Brain.
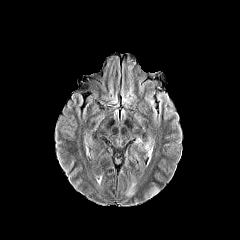
FLAIR magnetic resonance.
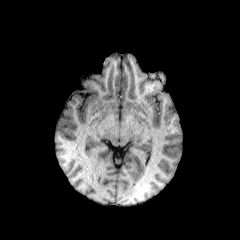
T1-weighted magnetic resonance.
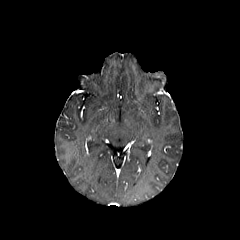
Post-contrast T1-weighted MR.
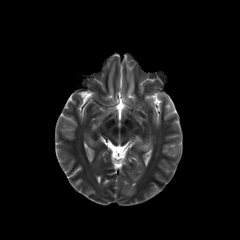
T2-weighted MRI of the same slice.
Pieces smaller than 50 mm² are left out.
Segmented structures:
* peritumoral edema: region(126, 183, 135, 195)